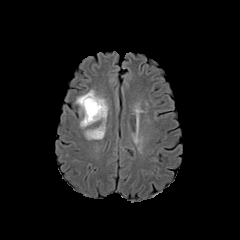
FLAIR MR image.
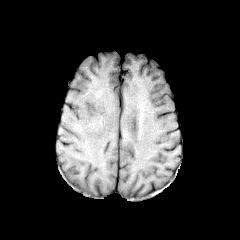
T1-weighted MR image of the same slice.
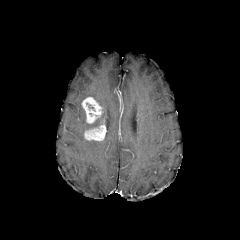
Post-contrast T1-weighted MR image of the same slice.
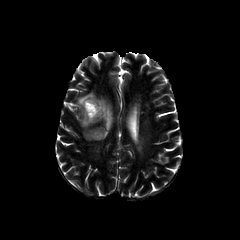
T2-weighted MRI of the same slice.
Axial view | Head
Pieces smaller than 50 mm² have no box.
necrotic tumor core: bounding box [x1=85, y1=102, x2=95, y2=111]
peritumoral edema: bounding box [x1=76, y1=90, x2=108, y2=132]
enhancing tumor: bounding box [x1=81, y1=97, x2=103, y2=123], [x1=84, y1=124, x2=106, y2=140]